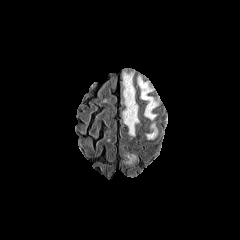
FLAIR MRI.
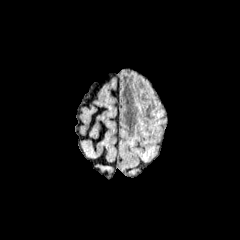
T1-weighted magnetic resonance of the same slice.
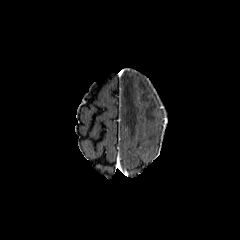
Post-contrast T1-weighted magnetic resonance.
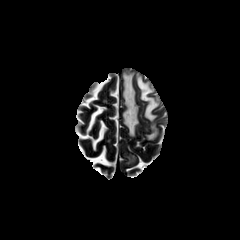
T2-weighted MR image.
peritumoral edema — [124,153,135,163], [137,76,158,120], [123,73,138,136], [146,123,157,139]